FLAIR MRI.
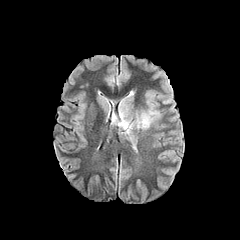
T1-weighted MR.
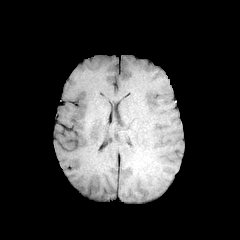
Post-contrast T1-weighted magnetic resonance.
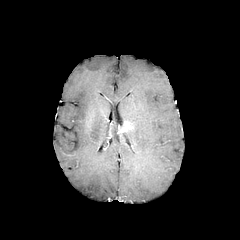
T2-weighted MRI.
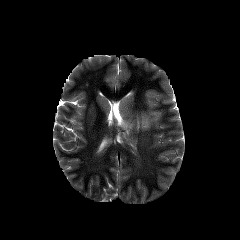
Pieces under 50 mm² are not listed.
peritumoral edema at (112,109,130,129), (136,113,150,128)
enhancing tumor at (122,121,132,131)